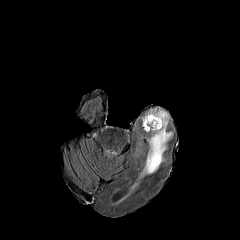
FLAIR MR.
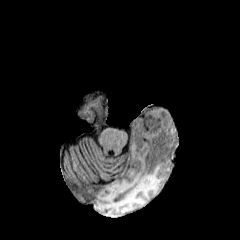
Same slice, T1-weighted MR image.
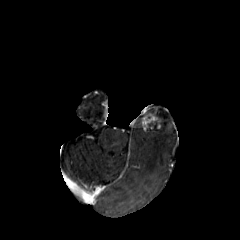
Post-contrast T1-weighted magnetic resonance.
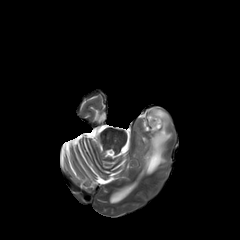
T2-weighted MRI.
Axial slice | 240x240
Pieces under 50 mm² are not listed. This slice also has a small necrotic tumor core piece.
peritumoral edema: <box>141,109,172,176</box>
enhancing tumor: <box>141,113,161,131</box>